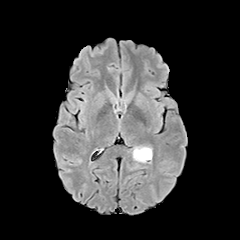
FLAIR magnetic resonance.
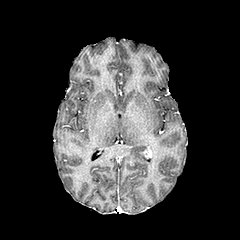
T1-weighted MR.
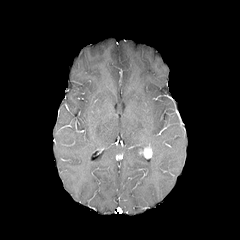
Post-contrast T1-weighted MR image.
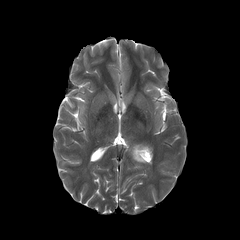
Same slice, T2-weighted MR.
Axial view.
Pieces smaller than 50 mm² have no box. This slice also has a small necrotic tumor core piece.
enhancing_tumor:
  - <box>138,147,152,158</box>
peritumoral_edema:
  - <box>132,145,151,162</box>